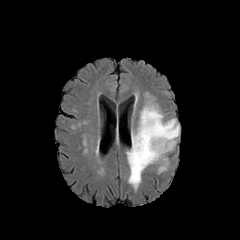
FLAIR MRI.
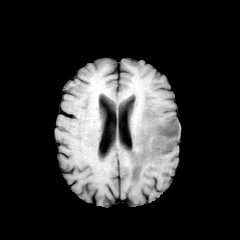
Same slice, T1-weighted MRI.
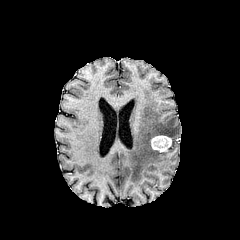
Post-contrast T1-weighted MR image.
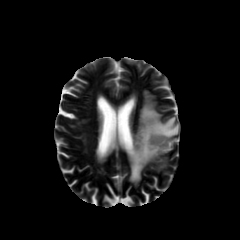
Same slice, T2-weighted MR.
Axial view.
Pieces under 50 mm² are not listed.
<segmentation>
  <enhancing_tumor>151, 135, 172, 152</enhancing_tumor>
  <peritumoral_edema>127, 99, 179, 188</peritumoral_edema>
</segmentation>